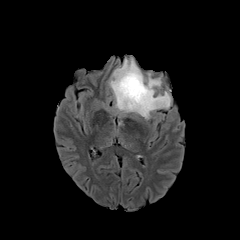
FLAIR magnetic resonance.
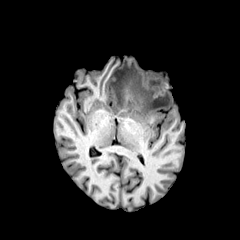
T1-weighted MRI.
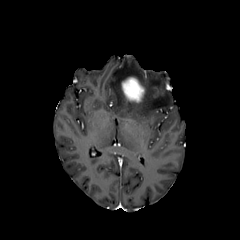
Post-contrast T1-weighted MRI.
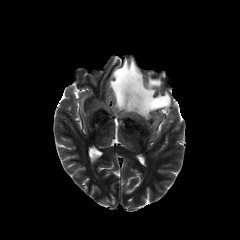
Same slice, T2-weighted MR image.
Brain; Axial plane; 240x240
enhancing tumor: {"x1": 121, "y1": 76, "x2": 145, "y2": 102} | peritumoral edema: {"x1": 109, "y1": 58, "x2": 171, "y2": 119}